FLAIR magnetic resonance.
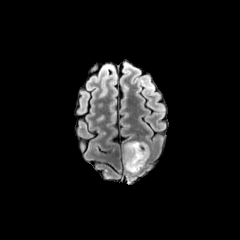
T1-weighted magnetic resonance.
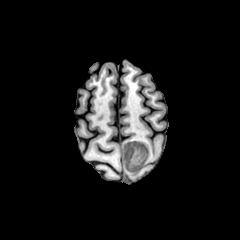
Post-contrast T1-weighted MR.
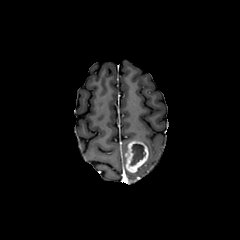
T2-weighted magnetic resonance.
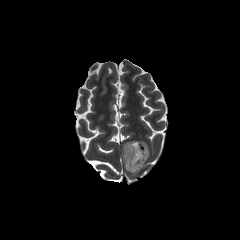
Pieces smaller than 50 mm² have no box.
<segmentation>
  <enhancing_tumor>(left=124, top=140, right=148, bottom=172)</enhancing_tumor>
  <necrotic_tumor_core>(left=130, top=144, right=145, bottom=165)</necrotic_tumor_core>
  <peritumoral_edema>(left=123, top=142, right=128, bottom=167)</peritumoral_edema>
</segmentation>